Axial plane
FLAIR magnetic resonance.
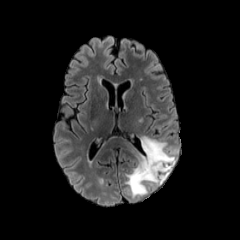
T1-weighted magnetic resonance.
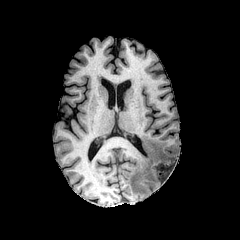
Post-contrast T1-weighted MRI.
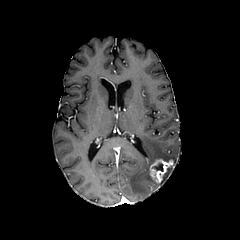
T2-weighted MR image.
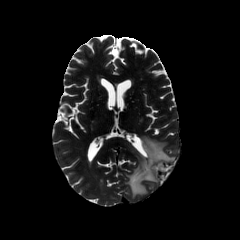
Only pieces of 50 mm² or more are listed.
peritumoral edema — x1=125 y1=136 x2=176 y2=197
enhancing tumor — x1=149 y1=158 x2=174 y2=182
necrotic tumor core — x1=152 y1=163 x2=163 y2=171